FLAIR MR image.
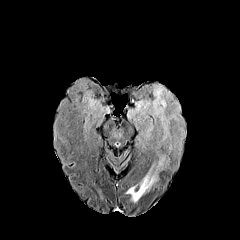
T1-weighted MR image.
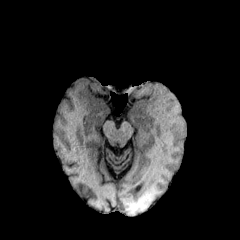
Post-contrast T1-weighted MR.
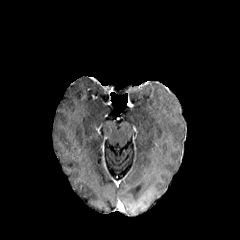
T2-weighted magnetic resonance.
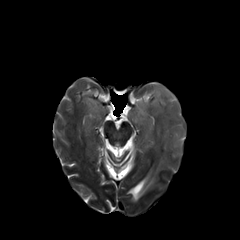
Axial slice
peritumoral edema at <bbox>126, 83, 184, 201</bbox>